FLAIR magnetic resonance.
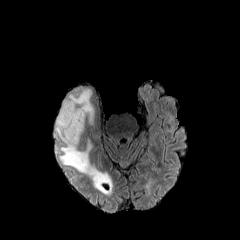
T1-weighted MR image.
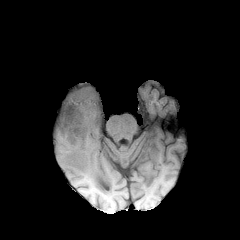
Post-contrast T1-weighted MR.
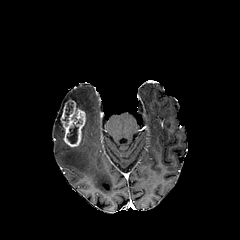
T2-weighted MRI.
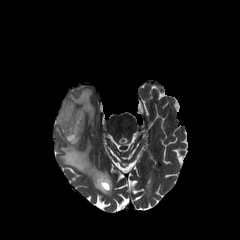
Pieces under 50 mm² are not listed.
enhancing tumor — <bbox>60, 100, 85, 147</bbox>
necrotic tumor core — <bbox>67, 125, 78, 143</bbox>, <bbox>63, 104, 72, 121</bbox>
peritumoral edema — <bbox>56, 137, 112, 194</bbox>, <bbox>55, 89, 94, 142</bbox>